Brain; Image width 240 mm, 1.00 mm slice spacing; Axial slice; Image size 240x240
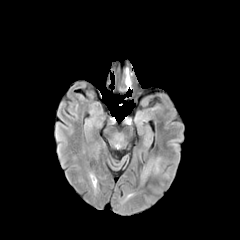
FLAIR MR.
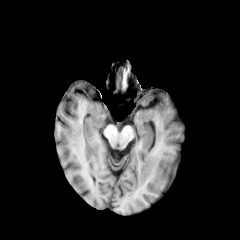
Same slice, T1-weighted MR image.
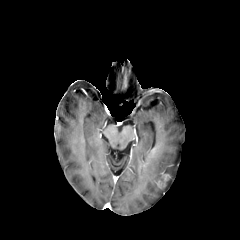
Post-contrast T1-weighted MR image.
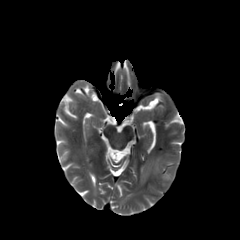
T2-weighted MRI.
enhancing_tumor:
  - box(154, 173, 169, 188)
peritumoral_edema:
  - box(141, 157, 162, 181)